240x240, Head
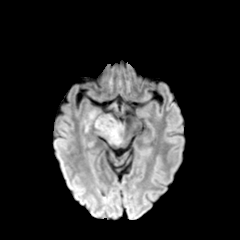
FLAIR MR image.
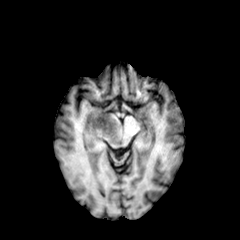
T1-weighted MRI of the same slice.
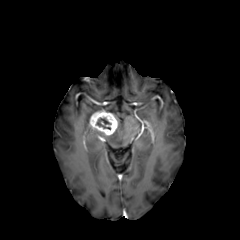
Post-contrast T1-weighted magnetic resonance.
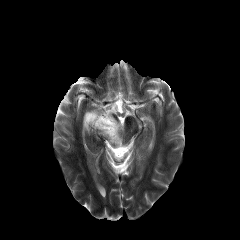
Same slice, T2-weighted magnetic resonance.
necrotic_tumor_core:
  - (left=97, top=118, right=110, bottom=129)
enhancing_tumor:
  - (left=89, top=110, right=117, bottom=135)
peritumoral_edema:
  - (left=98, top=122, right=123, bottom=145)
  - (left=85, top=110, right=97, bottom=131)